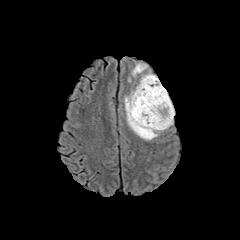
FLAIR MRI.
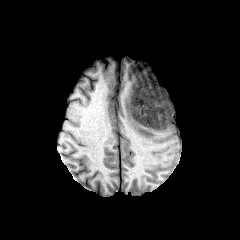
T1-weighted magnetic resonance.
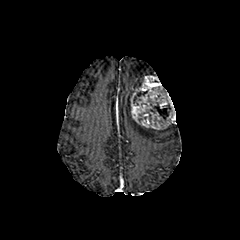
Post-contrast T1-weighted MR.
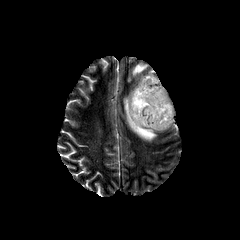
T2-weighted MR image.
Axial slice
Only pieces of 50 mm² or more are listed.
Findings:
• necrotic tumor core: [x1=153, y1=103, x2=170, y2=119]
• peritumoral edema: [x1=132, y1=63, x2=147, y2=76], [x1=124, y1=90, x2=163, y2=140]
• enhancing tumor: [x1=130, y1=75, x2=175, y2=129]